Axial plane.
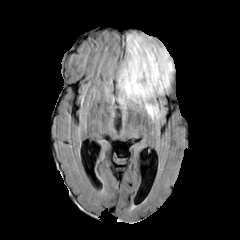
FLAIR magnetic resonance.
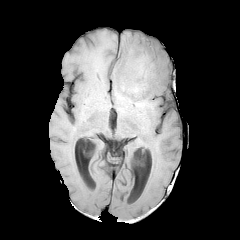
T1-weighted MR image.
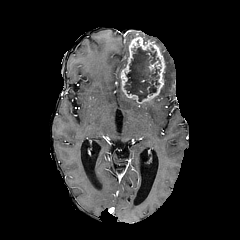
Post-contrast T1-weighted MR of the same slice.
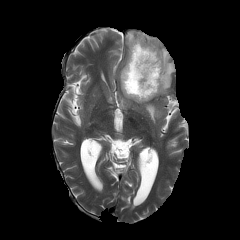
T2-weighted MRI of the same slice.
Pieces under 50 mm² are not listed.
enhancing tumor: 120:33:165:103 | necrotic tumor core: 124:47:159:101 | peritumoral edema: 118:32:137:108, 159:47:173:94, 139:102:160:121